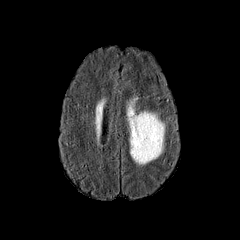
FLAIR magnetic resonance.
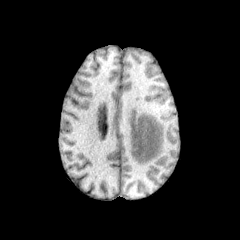
Same slice, T1-weighted magnetic resonance.
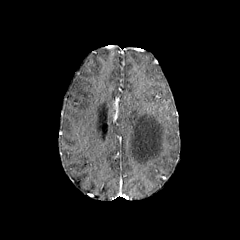
Post-contrast T1-weighted magnetic resonance.
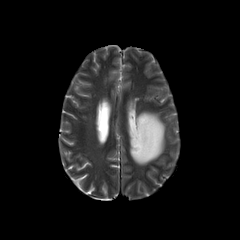
T2-weighted MR of the same slice.
Axial view, Image size 240x240
The peritumoral edema is at [x1=127, y1=99, x2=164, y2=164].